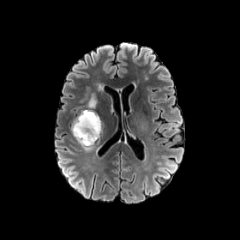
FLAIR magnetic resonance.
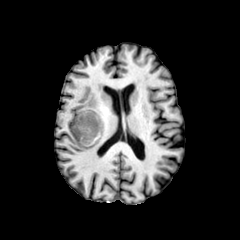
T1-weighted MR image.
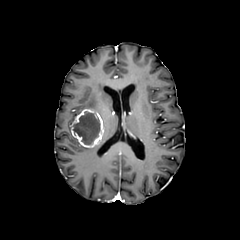
Post-contrast T1-weighted magnetic resonance.
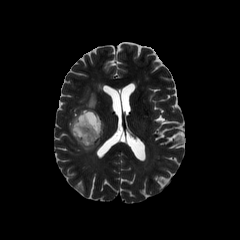
T2-weighted magnetic resonance.
Brain
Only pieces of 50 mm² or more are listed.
enhancing tumor — {"x1": 71, "y1": 109, "x2": 103, "y2": 147}
necrotic tumor core — {"x1": 73, "y1": 112, "x2": 100, "y2": 144}
peritumoral edema — {"x1": 87, "y1": 94, "x2": 96, "y2": 109}